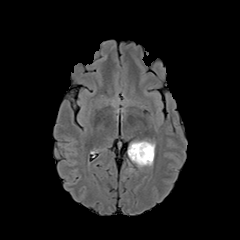
FLAIR MR.
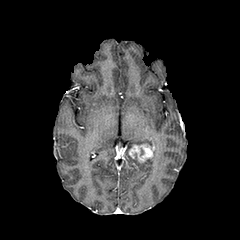
T1-weighted MR.
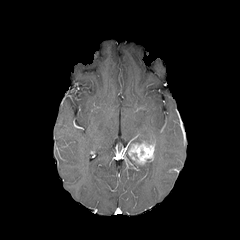
Post-contrast T1-weighted MR image of the same slice.
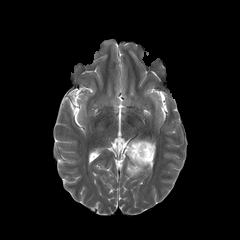
T2-weighted MRI.
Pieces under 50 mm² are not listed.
Segmented structures:
* peritumoral edema: (left=127, top=163, right=137, bottom=173), (left=130, top=158, right=153, bottom=169)
* enhancing tumor: (left=128, top=141, right=154, bottom=165)